Axial slice; 240x240
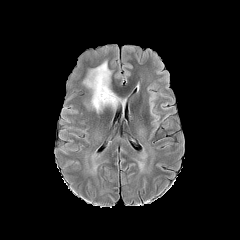
FLAIR MR.
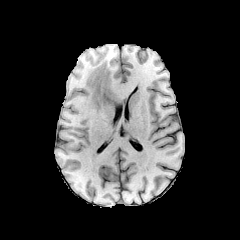
T1-weighted magnetic resonance.
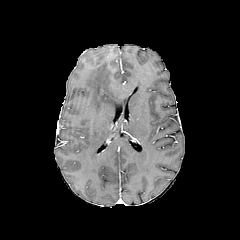
Post-contrast T1-weighted MR.
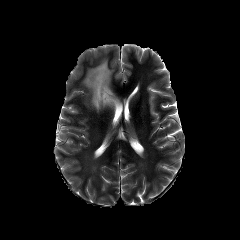
Same slice, T2-weighted MR image.
peritumoral edema = 80,61,121,112